Image width 240 mm. Axial view. Head.
FLAIR magnetic resonance.
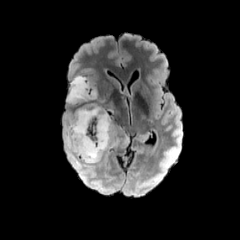
T1-weighted magnetic resonance.
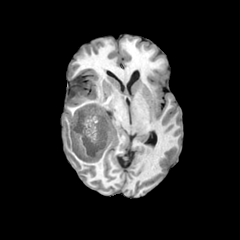
Post-contrast T1-weighted MRI.
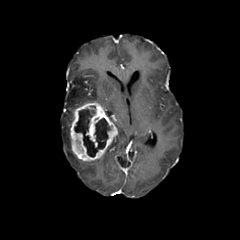
T2-weighted MR.
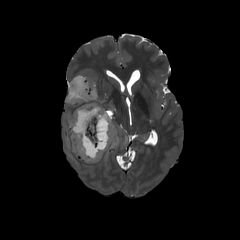
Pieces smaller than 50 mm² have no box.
peritumoral edema — [67,76,96,103], [66,117,80,168]
enhancing tumor — [70,102,117,161]
necrotic tumor core — [74,109,110,157]